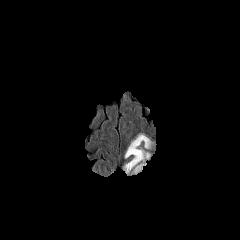
FLAIR MR.
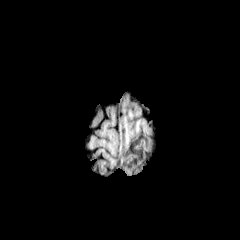
Same slice, T1-weighted MR image.
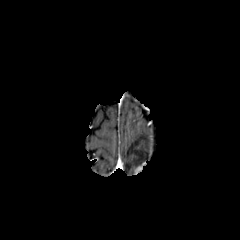
Post-contrast T1-weighted MR image of the same slice.
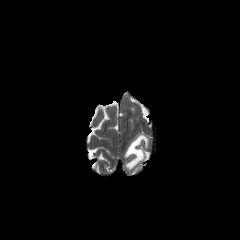
Same slice, T2-weighted MR.
Head. Axial slice.
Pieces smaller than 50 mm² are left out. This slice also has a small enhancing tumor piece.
peritumoral edema at (x1=133, y1=162, x2=145, y2=173), (x1=122, y1=132, x2=152, y2=173)